Axial view
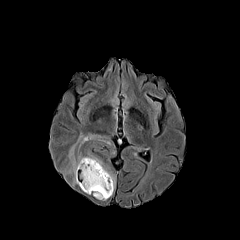
FLAIR MR image.
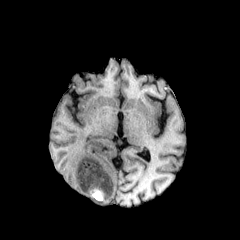
T1-weighted magnetic resonance.
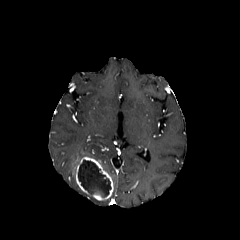
Post-contrast T1-weighted MRI.
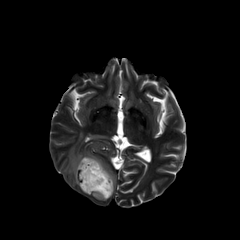
T2-weighted MR.
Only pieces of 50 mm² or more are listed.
The 2 largest peritumoral edema regions are bounded by <bbox>68, 131, 113, 173</bbox>, <bbox>87, 150, 116, 187</bbox>. The enhancing tumor is located at <bbox>75, 157, 113, 200</bbox>. The necrotic tumor core is bounded by <bbox>78, 160, 110, 196</bbox>.